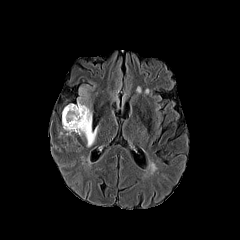
FLAIR MRI.
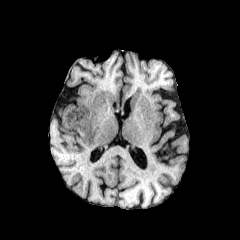
T1-weighted magnetic resonance.
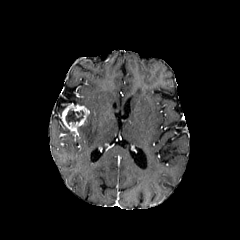
Same slice, post-contrast T1-weighted magnetic resonance.
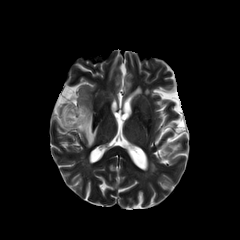
T2-weighted MRI of the same slice.
Axial slice
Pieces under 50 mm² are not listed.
enhancing_tumor:
  - [62, 103, 89, 134]
necrotic_tumor_core:
  - [65, 108, 84, 124]
peritumoral_edema:
  - [77, 86, 97, 147]